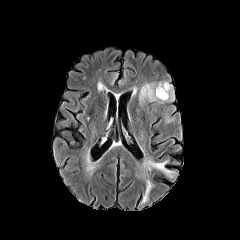
FLAIR MR.
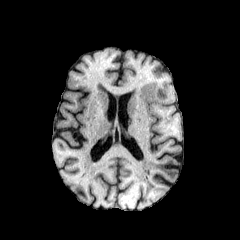
T1-weighted MR image.
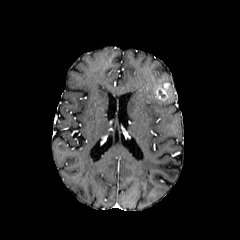
Post-contrast T1-weighted MR.
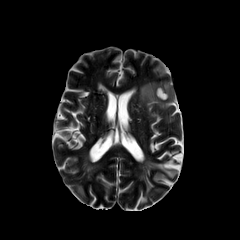
T2-weighted MR image.
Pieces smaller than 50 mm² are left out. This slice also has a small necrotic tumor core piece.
peritumoral edema = 139,81,168,104; 166,116,174,122; 165,85,174,101
enhancing tumor = 153,83,170,101